Image covers 240 mm x 240 mm; Axial slice; 240x240; Brain
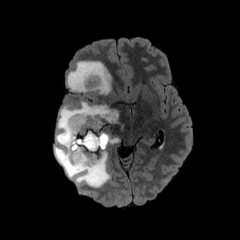
FLAIR magnetic resonance.
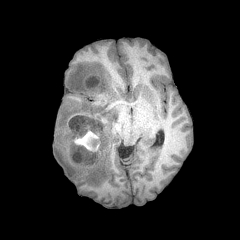
T1-weighted MRI.
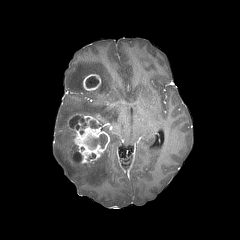
Post-contrast T1-weighted MR.
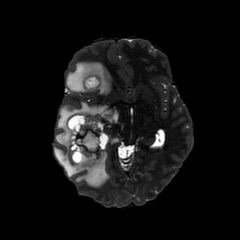
T2-weighted MRI of the same slice.
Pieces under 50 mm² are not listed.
Findings:
• peritumoral edema: <box>109,137,118,144</box>, <box>54,101,118,187</box>, <box>66,61,111,94</box>
• necrotic tumor core: <box>90,120,99,128</box>, <box>86,76,98,87</box>, <box>85,132,107,149</box>, <box>74,152,81,161</box>, <box>69,115,86,129</box>
• enhancing tumor: <box>82,74,101,90</box>, <box>69,114,109,164</box>